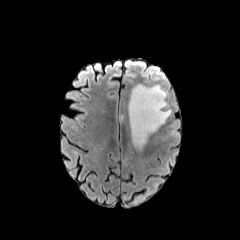
FLAIR MRI.
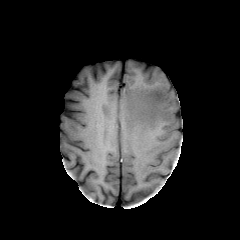
T1-weighted MR.
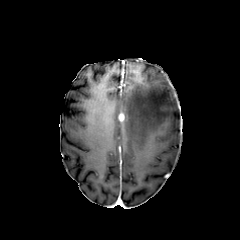
Post-contrast T1-weighted magnetic resonance.
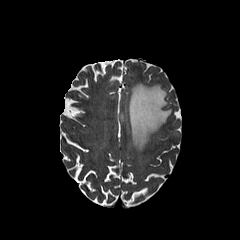
Same slice, T2-weighted MRI.
Head. Image size 240x240.
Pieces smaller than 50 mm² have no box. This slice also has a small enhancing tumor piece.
peritumoral edema: bounding box (128,84,171,151)